Slice 123/155. Axial slice.
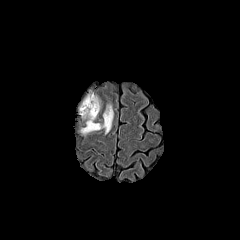
FLAIR MRI.
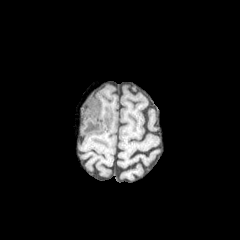
T1-weighted MR.
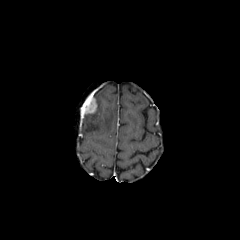
Same slice, post-contrast T1-weighted MR.
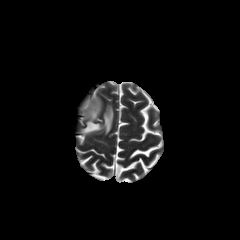
T2-weighted MR image.
enhancing tumor at (x1=80, y1=93, x2=97, y2=117)
peritumoral edema at (x1=81, y1=96, x2=113, y2=134)